FLAIR MR image.
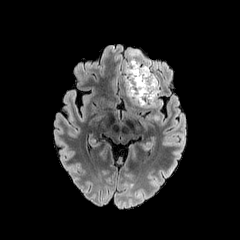
T1-weighted MRI.
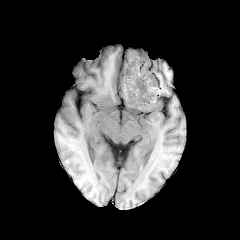
Post-contrast T1-weighted MRI.
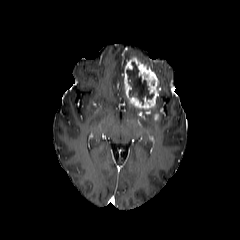
T2-weighted MR.
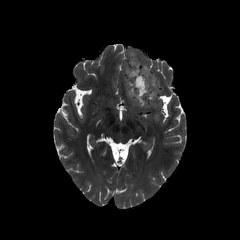
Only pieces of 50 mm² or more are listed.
The largest peritumoral edema region is located at [x1=129, y1=49, x2=139, y2=58]. The largest necrotic tumor core region is bounded by [x1=126, y1=62, x2=153, y2=104]. The largest enhancing tumor region lies within [x1=122, y1=57, x2=161, y2=109].